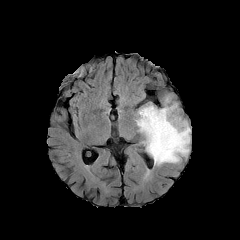
FLAIR MR image.
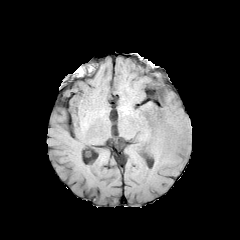
Same slice, T1-weighted MR image.
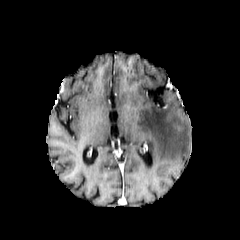
Post-contrast T1-weighted MRI of the same slice.
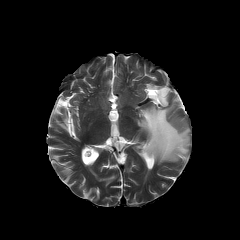
Same slice, T2-weighted magnetic resonance.
Brain, 240x240, Axial slice
The peritumoral edema lies within 136 95 190 165.